FLAIR MRI.
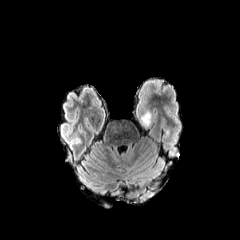
T1-weighted MR image.
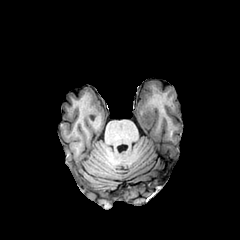
Post-contrast T1-weighted MRI.
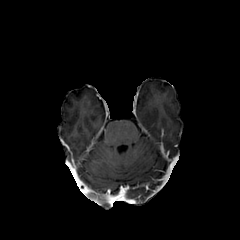
T2-weighted MR image.
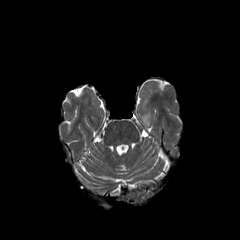
Head. Axial plane.
peritumoral edema: bounding box (140, 113, 151, 126)